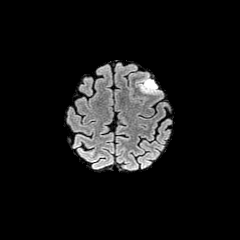
FLAIR MR image.
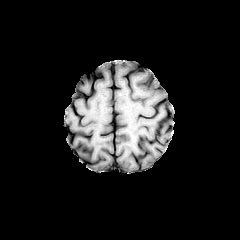
T1-weighted MRI.
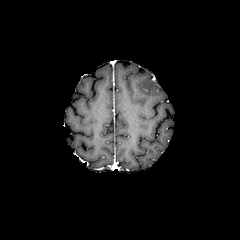
Same slice, post-contrast T1-weighted MR image.
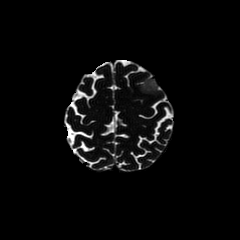
T2-weighted MR image of the same slice.
Head.
The peritumoral edema is located at (139, 77, 160, 94).